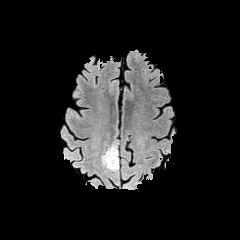
FLAIR MRI.
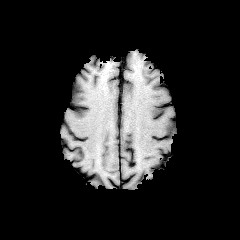
T1-weighted MRI.
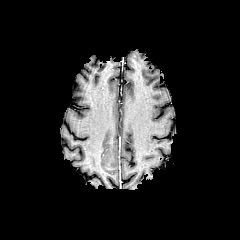
Post-contrast T1-weighted MR of the same slice.
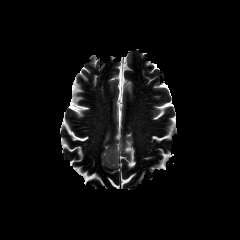
T2-weighted MR of the same slice.
Axial slice
peritumoral edema: bounding box bbox=[103, 148, 118, 168]